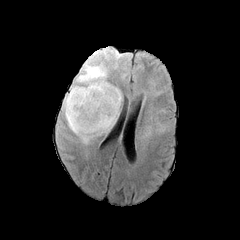
FLAIR MR.
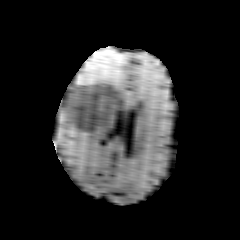
T1-weighted MR image.
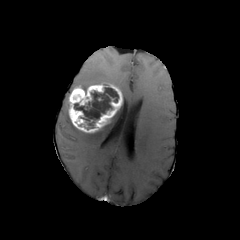
Same slice, post-contrast T1-weighted MRI.
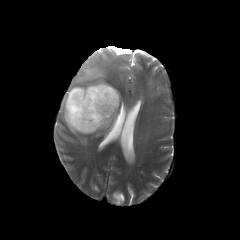
T2-weighted MR image of the same slice.
240x240 px
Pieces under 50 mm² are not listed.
{"peritumoral_edema": ["61,93,122,144", "69,63,107,91"], "enhancing_tumor": ["67,83,123,133"], "necrotic_tumor_core": ["74,88,118,120"]}